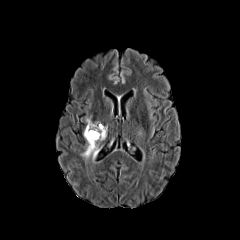
FLAIR MR image.
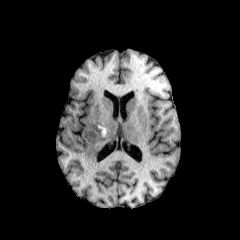
Same slice, T1-weighted MR.
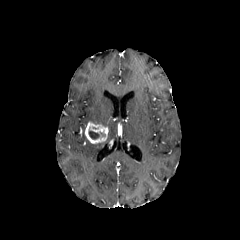
Post-contrast T1-weighted MR.
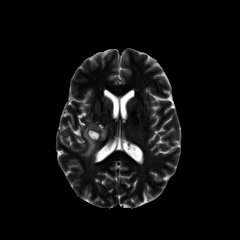
T2-weighted magnetic resonance of the same slice.
Head | 240x240 px
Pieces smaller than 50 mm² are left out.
enhancing_tumor:
  - (left=84, top=122, right=108, bottom=143)
peritumoral_edema:
  - (left=81, top=140, right=99, bottom=160)
necrotic_tumor_core:
  - (left=89, top=130, right=99, bottom=139)